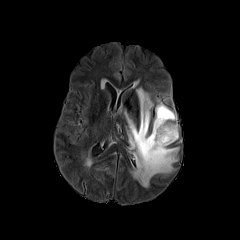
FLAIR MRI.
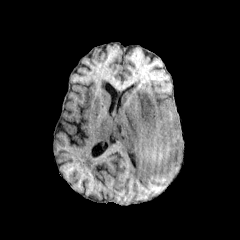
T1-weighted MR image.
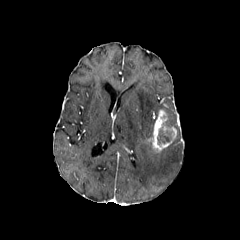
Same slice, post-contrast T1-weighted magnetic resonance.
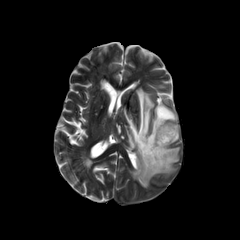
Same slice, T2-weighted magnetic resonance.
Axial slice. Head.
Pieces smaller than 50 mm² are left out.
Segmented structures:
* peritumoral edema: rect(153, 103, 176, 130); rect(124, 88, 179, 187)
* necrotic tumor core: rect(165, 115, 177, 127); rect(157, 127, 172, 144)
* enhancing tumor: rect(148, 109, 176, 152)